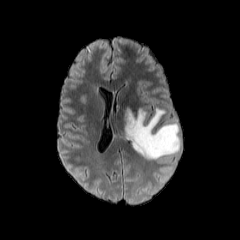
FLAIR MR image.
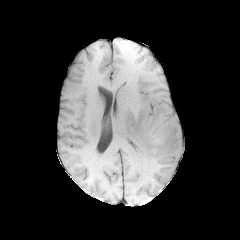
T1-weighted magnetic resonance of the same slice.
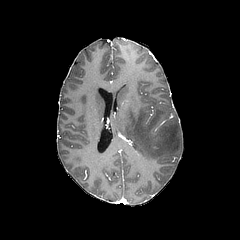
Post-contrast T1-weighted magnetic resonance.
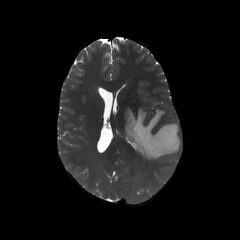
T2-weighted MR image of the same slice.
Head
peritumoral edema at 125:107:180:159